FLAIR MR.
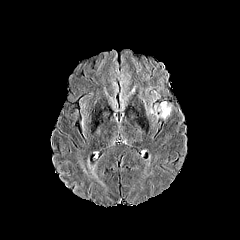
T1-weighted MRI.
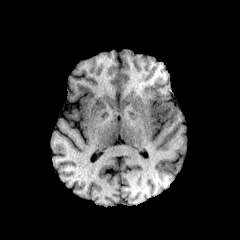
Post-contrast T1-weighted MR.
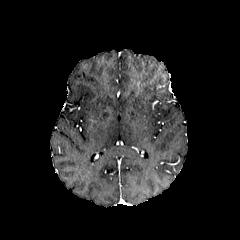
T2-weighted MR image.
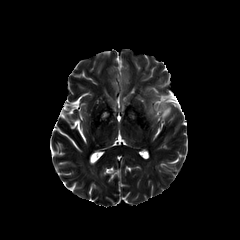
Brain
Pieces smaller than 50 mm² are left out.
The largest peritumoral edema region is bounded by box=[155, 102, 171, 118].